Brain. Image size 240x240. Slice index 75. Image width 240 mm.
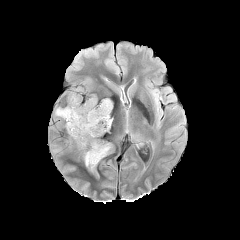
FLAIR MR image.
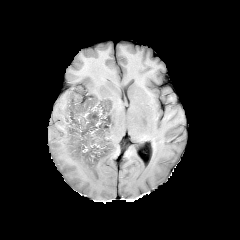
T1-weighted MR image of the same slice.
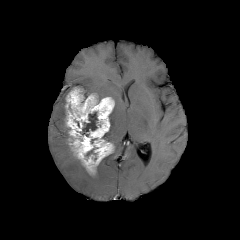
Post-contrast T1-weighted MR.
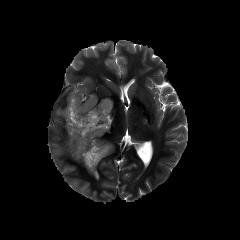
Same slice, T2-weighted magnetic resonance.
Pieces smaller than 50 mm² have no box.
peritumoral edema = x1=55, y1=107, x2=65, y2=126
enhancing tumor = x1=65, y1=87, x2=114, y2=174
necrotic tumor core = x1=82, y1=112, x2=97, y2=136